Image covers 240 mm x 240 mm | Slice index 116
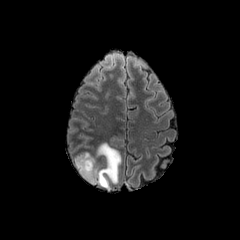
FLAIR MR image.
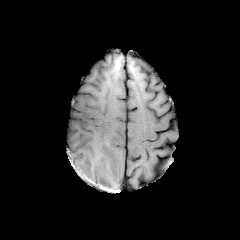
T1-weighted MR image.
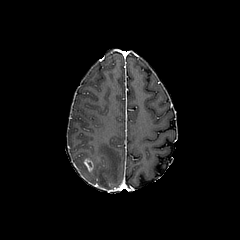
Same slice, post-contrast T1-weighted MR image.
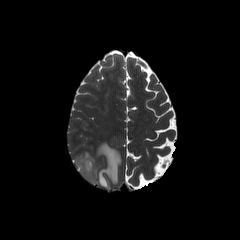
T2-weighted MRI.
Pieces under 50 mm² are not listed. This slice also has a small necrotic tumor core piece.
The enhancing tumor is at region(83, 158, 93, 172). The peritumoral edema is bounded by region(74, 143, 120, 189).